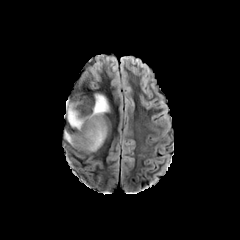
FLAIR MR.
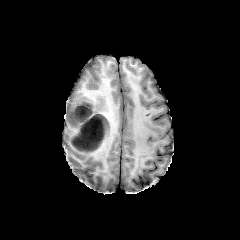
T1-weighted MR image.
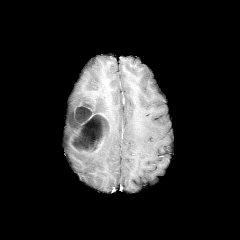
Same slice, post-contrast T1-weighted magnetic resonance.
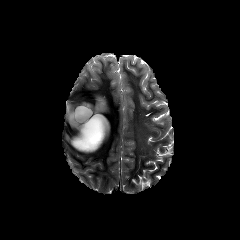
T2-weighted MRI.
Head
peritumoral_edema:
  - 64, 131, 73, 143
  - 92, 94, 109, 114
  - 66, 101, 80, 128
enhancing_tumor:
  - 70, 105, 108, 152
necrotic_tumor_core:
  - 76, 107, 91, 121
  - 73, 115, 104, 149